Axial plane | 240x240 px | Head
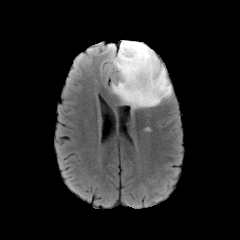
FLAIR magnetic resonance.
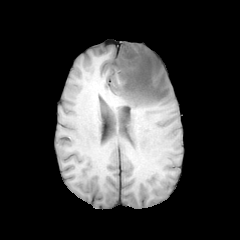
Same slice, T1-weighted magnetic resonance.
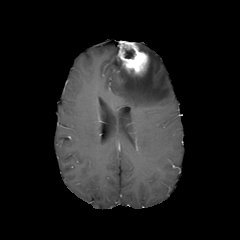
Post-contrast T1-weighted MR.
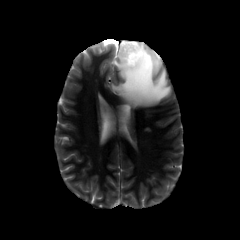
Same slice, T2-weighted MR image.
peritumoral edema: x1=110 y1=42 x2=171 y2=109 | enhancing tumor: x1=117 y1=41 x2=148 y2=75 | necrotic tumor core: x1=125 y1=49 x2=134 y2=58